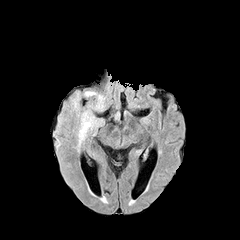
FLAIR magnetic resonance.
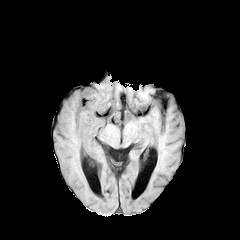
T1-weighted MR image of the same slice.
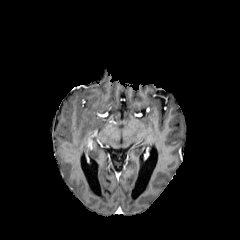
Same slice, post-contrast T1-weighted MRI.
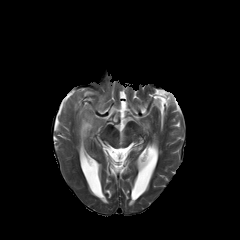
Same slice, T2-weighted MR image.
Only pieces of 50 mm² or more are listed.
The 5 largest peritumoral edema regions are bounded by left=84, top=88, right=94, bottom=95; left=70, top=98, right=82, bottom=103; left=98, top=95, right=104, bottom=110; left=79, top=110, right=104, bottom=140; left=56, top=100, right=64, bottom=141.